240x240 px, Slice 44 of 155, Axial view
FLAIR MR image.
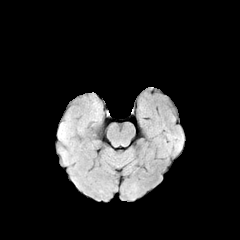
T1-weighted MR.
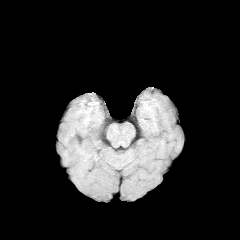
Post-contrast T1-weighted MRI.
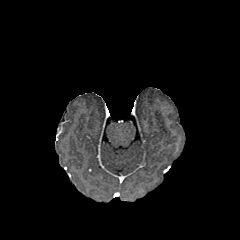
T2-weighted MR image.
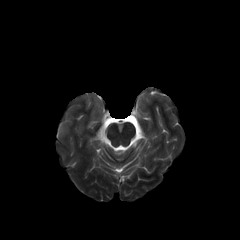
The peritumoral edema lies within (x1=58, y1=117, x2=69, y2=141).